FLAIR MR image.
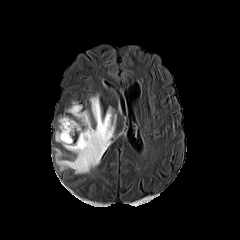
T1-weighted MRI.
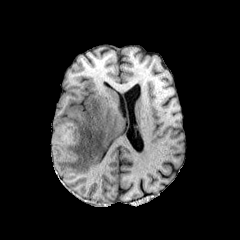
Post-contrast T1-weighted MR image.
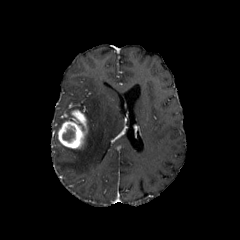
T2-weighted magnetic resonance.
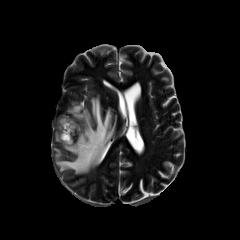
Image size 240x240. Brain. Axial plane.
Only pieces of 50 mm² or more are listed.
enhancing tumor = 58,109,87,149
peritumoral edema = 67,102,81,112; 55,95,116,173; 58,116,68,128
necrotic tumor core = 63,129,73,140